Axial view. Brain. Slice 116/155.
FLAIR MRI.
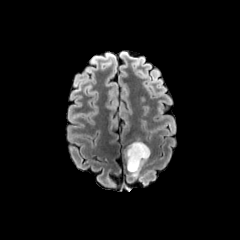
T1-weighted MR.
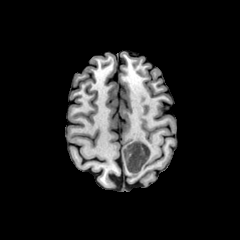
Post-contrast T1-weighted MR.
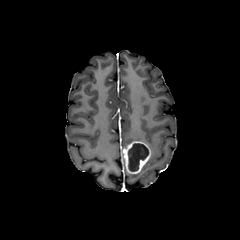
T2-weighted MRI.
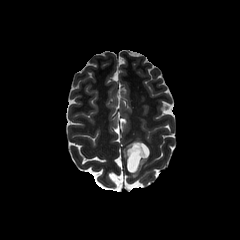
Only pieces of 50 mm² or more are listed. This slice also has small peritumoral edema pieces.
Segmented structures:
• necrotic tumor core: rect(128, 143, 148, 171)
• enhancing tumor: rect(123, 141, 150, 173)